FLAIR MR image.
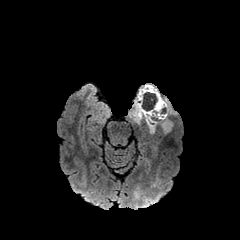
T1-weighted MR.
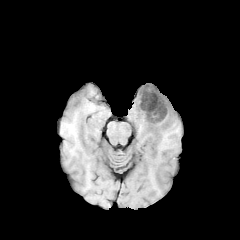
Post-contrast T1-weighted MRI.
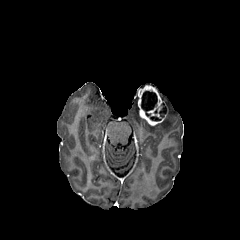
T2-weighted MR image.
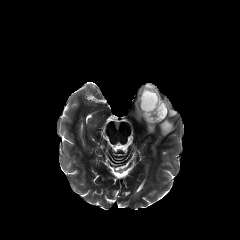
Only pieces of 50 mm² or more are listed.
<segmentation>
  <peritumoral_edema>rect(160, 97, 177, 134); rect(146, 121, 156, 133); rect(128, 95, 143, 123)</peritumoral_edema>
  <enhancing_tumor>rect(137, 85, 166, 125)</enhancing_tumor>
  <necrotic_tumor_core>rect(150, 104, 166, 120); rect(141, 91, 157, 116)</necrotic_tumor_core>
</segmentation>